Axial view, Brain, Slice index 52
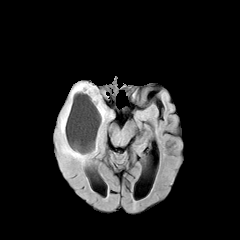
FLAIR MR.
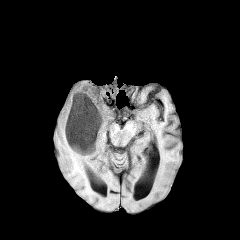
T1-weighted MR.
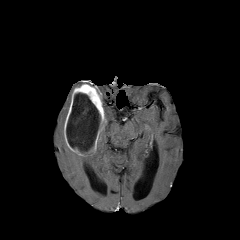
Same slice, post-contrast T1-weighted magnetic resonance.
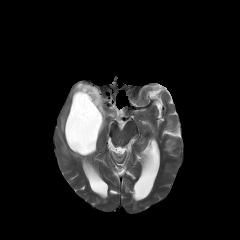
T2-weighted MR.
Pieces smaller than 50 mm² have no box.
enhancing tumor — (x1=64, y1=83, x2=106, y2=155)
necrotic tumor core — (x1=66, y1=93, x2=100, y2=153)
peritumoral edema — (x1=103, y1=103, x2=114, y2=122), (x1=57, y1=88, x2=104, y2=163)